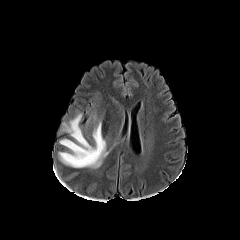
FLAIR MRI.
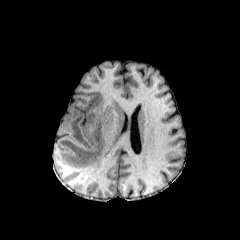
Same slice, T1-weighted magnetic resonance.
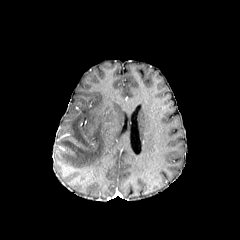
Post-contrast T1-weighted MR.
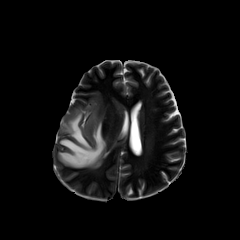
Same slice, T2-weighted MRI.
Axial slice. Head.
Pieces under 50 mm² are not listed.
peritumoral edema at x1=59 y1=112 x2=108 y2=168